FLAIR MRI.
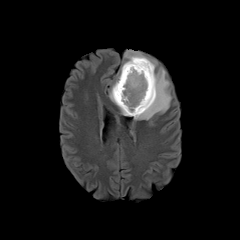
T1-weighted MRI.
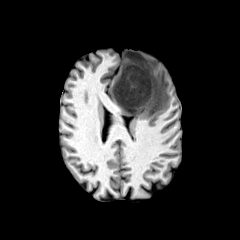
Post-contrast T1-weighted MR image.
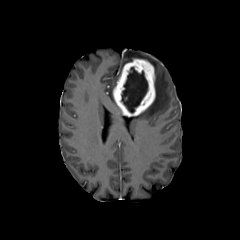
T2-weighted magnetic resonance.
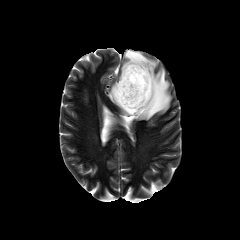
Image size 240x240
<segmentation>
  <peritumoral_edema>rect(134, 67, 171, 120); rect(109, 83, 115, 103); rect(121, 50, 157, 72)</peritumoral_edema>
  <necrotic_tumor_core>rect(121, 67, 148, 113)</necrotic_tumor_core>
  <enhancing_tumor>rect(113, 58, 155, 116)</enhancing_tumor>
</segmentation>